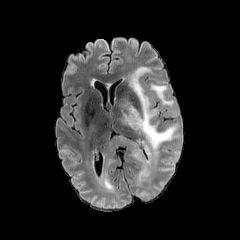
FLAIR magnetic resonance.
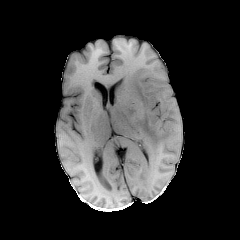
T1-weighted magnetic resonance.
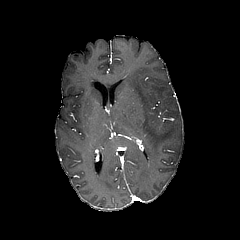
Post-contrast T1-weighted MRI of the same slice.
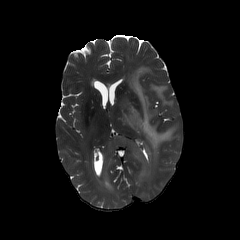
T2-weighted MR.
Axial view
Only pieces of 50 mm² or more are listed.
peritumoral edema: box(107, 137, 146, 175); box(150, 84, 173, 105); box(119, 98, 131, 107); box(123, 66, 176, 158)